FLAIR MRI.
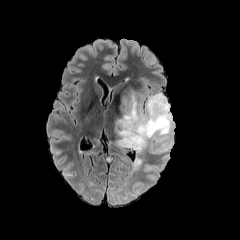
T1-weighted MR image.
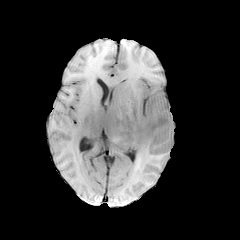
Post-contrast T1-weighted magnetic resonance.
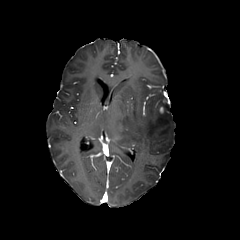
T2-weighted MR.
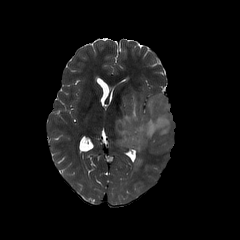
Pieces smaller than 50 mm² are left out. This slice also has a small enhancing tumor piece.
peritumoral edema: 133, 158, 142, 170; 115, 93, 173, 153